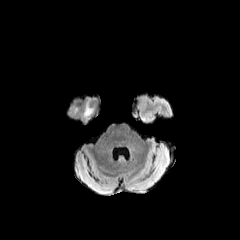
FLAIR MRI.
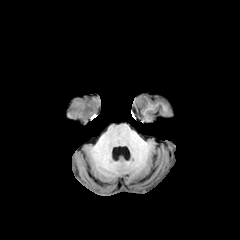
Same slice, T1-weighted magnetic resonance.
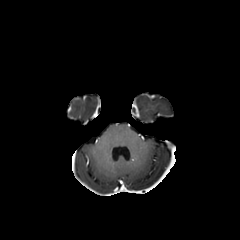
Post-contrast T1-weighted magnetic resonance.
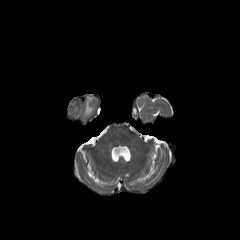
T2-weighted MR.
Brain; 240x240 px
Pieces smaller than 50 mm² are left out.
The largest peritumoral edema region lies within (82,101,93,118).